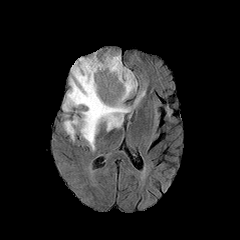
FLAIR MRI.
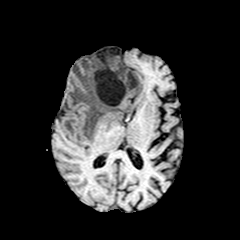
T1-weighted MR image.
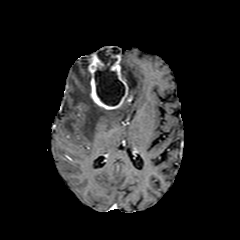
Post-contrast T1-weighted magnetic resonance of the same slice.
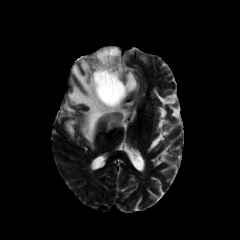
T2-weighted magnetic resonance of the same slice.
Brain.
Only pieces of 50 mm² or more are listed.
The largest enhancing tumor region is at bbox(88, 51, 128, 109). The necrotic tumor core lies within bbox(94, 47, 124, 105). 3 peritumoral edema regions are bounded by bbox(121, 61, 137, 97); bbox(63, 58, 131, 150); bbox(135, 91, 144, 103).